FLAIR MR image.
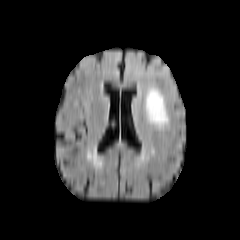
T1-weighted MR image.
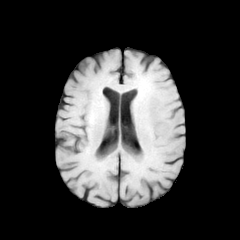
Post-contrast T1-weighted MR.
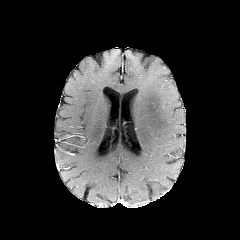
T2-weighted MR.
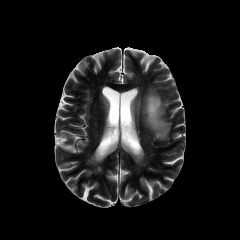
Image size 240x240, Axial plane, Head
<segmentation>
  <peritumoral_edema>(144, 87, 169, 132)</peritumoral_edema>
</segmentation>